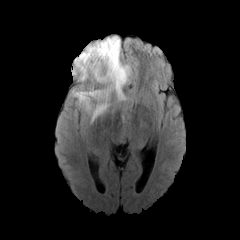
FLAIR magnetic resonance.
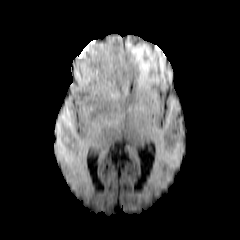
T1-weighted MR.
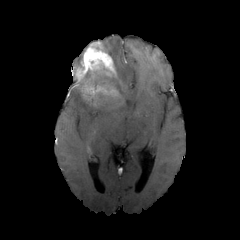
Post-contrast T1-weighted MR.
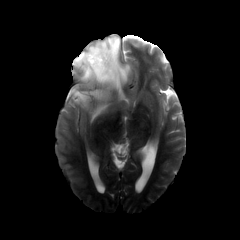
T2-weighted MRI.
Axial view. Brain.
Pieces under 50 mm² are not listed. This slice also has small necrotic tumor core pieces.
Segmented structures:
* enhancing tumor: [71,39,121,110]
* peritumoral edema: [71,86,107,122], [105,36,130,101]